FLAIR MR image.
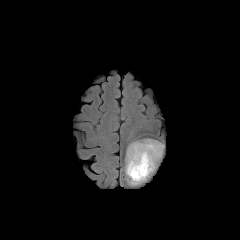
T1-weighted MRI.
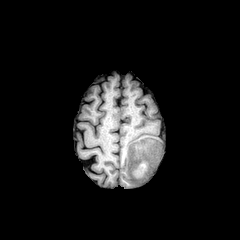
Post-contrast T1-weighted MRI.
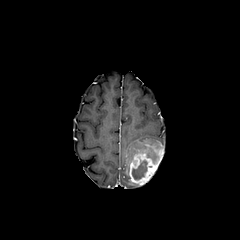
T2-weighted MR.
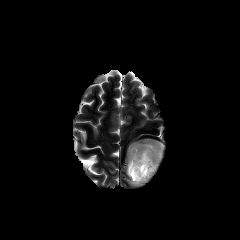
Axial plane | Head
peritumoral_edema:
  - (125,139,159,185)
necrotic_tumor_core:
  - (148,151,156,160)
  - (132,161,147,179)
enhancing_tumor:
  - (128,143,163,185)